FLAIR MR.
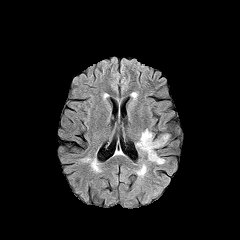
T1-weighted MR image.
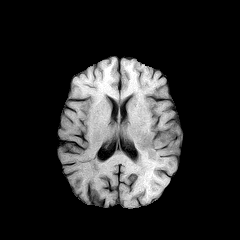
Post-contrast T1-weighted MRI.
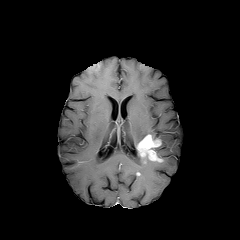
T2-weighted MR.
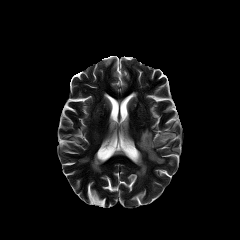
Head.
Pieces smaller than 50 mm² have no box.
peritumoral_edema:
  - <box>138,164,146,175</box>
  - <box>139,129,153,141</box>
  - <box>157,133,169,145</box>
enhancing_tumor:
  - <box>137,134,162,162</box>